FLAIR MRI.
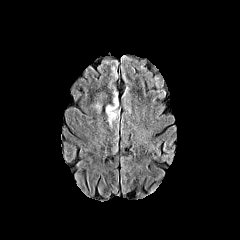
T1-weighted MR.
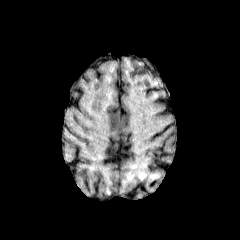
Post-contrast T1-weighted MR.
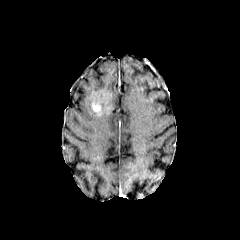
T2-weighted magnetic resonance.
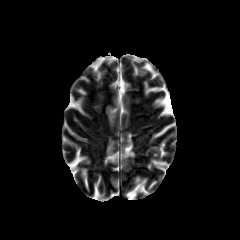
Axial view | Brain | Image size 240x240
- enhancing tumor: <bbox>92, 103, 101, 113</bbox>
- peritumoral edema: <bbox>106, 93, 118, 124</bbox>